FLAIR magnetic resonance.
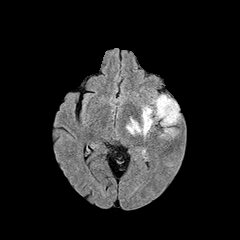
T1-weighted MR image.
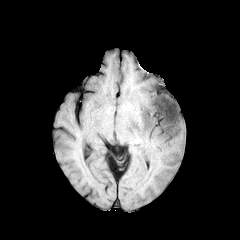
Post-contrast T1-weighted MR.
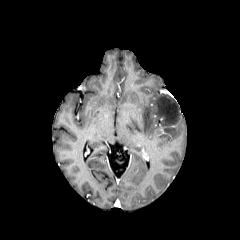
T2-weighted magnetic resonance.
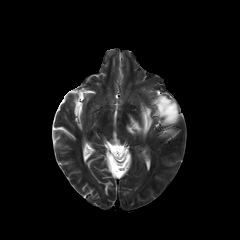
Head
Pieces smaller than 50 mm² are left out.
peritumoral edema: (left=152, top=95, right=179, bottom=125), (left=126, top=106, right=153, bottom=136), (left=165, top=128, right=176, bottom=136)